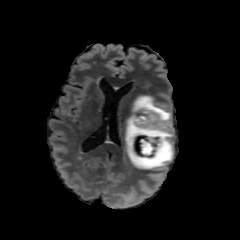
FLAIR MRI.
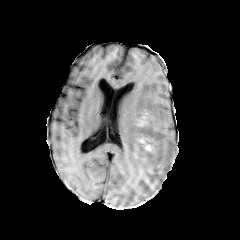
T1-weighted MRI of the same slice.
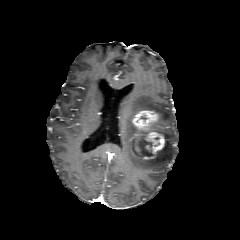
Post-contrast T1-weighted MR.
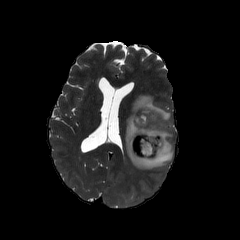
Same slice, T2-weighted MRI.
Axial slice; Brain
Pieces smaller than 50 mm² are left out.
- necrotic tumor core: 140,131,151,156
- peritumoral edema: 124,95,173,169
- enhancing tumor: 128,109,169,162